FLAIR MRI.
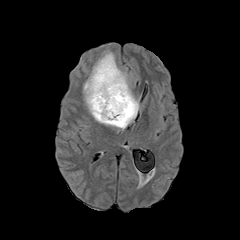
T1-weighted magnetic resonance.
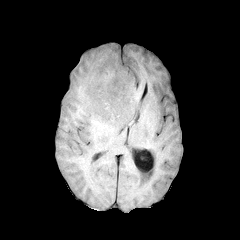
Post-contrast T1-weighted magnetic resonance.
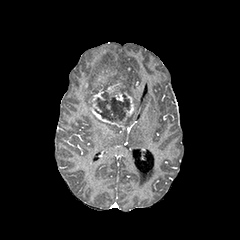
T2-weighted magnetic resonance.
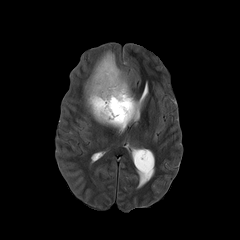
Axial plane | Head
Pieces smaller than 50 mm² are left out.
The peritumoral edema appears at box(83, 50, 140, 128). The 2 largest necrotic tumor core regions are bounded by box(110, 94, 129, 120); box(94, 92, 116, 120). The enhancing tumor lies within box(90, 68, 134, 126).